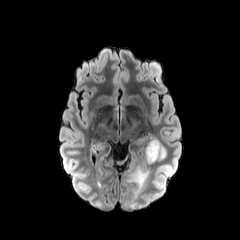
FLAIR magnetic resonance.
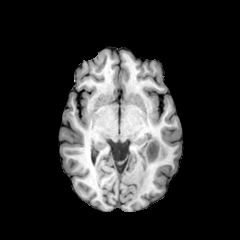
T1-weighted MR image of the same slice.
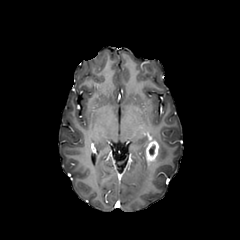
Post-contrast T1-weighted MR of the same slice.
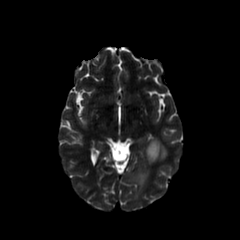
T2-weighted MR image.
Brain
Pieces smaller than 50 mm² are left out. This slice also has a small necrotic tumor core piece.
enhancing tumor = 146, 139, 159, 162
peritumoral edema = 152, 138, 166, 160; 125, 166, 149, 198